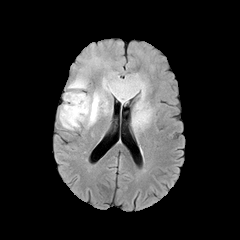
FLAIR magnetic resonance.
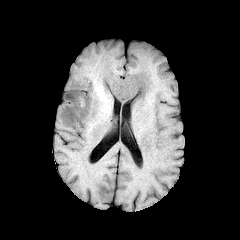
Same slice, T1-weighted magnetic resonance.
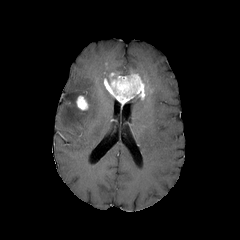
Same slice, post-contrast T1-weighted magnetic resonance.
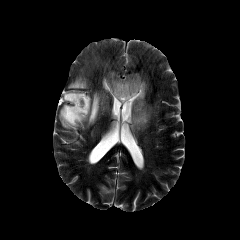
T2-weighted MRI of the same slice.
240x240 px; Brain; Axial slice
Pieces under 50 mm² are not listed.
2 enhancing tumor regions are bounded by (76,95,89,110), (103,72,149,105). The 2 largest peritumoral edema regions are located at (59,55,113,129), (132,97,153,131).